Brain. Axial view. Slice index 86.
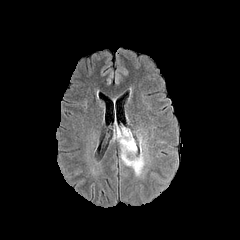
FLAIR MR.
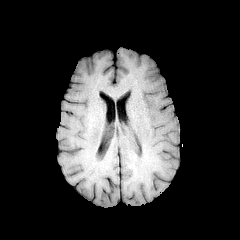
T1-weighted MRI.
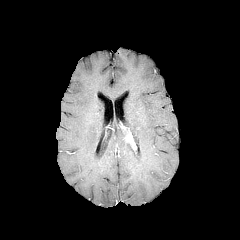
Post-contrast T1-weighted magnetic resonance.
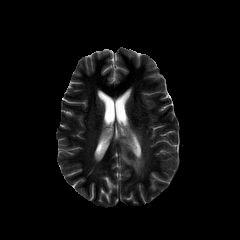
Same slice, T2-weighted MR image.
<segmentation>
  <peritumoral_edema>{"x1": 114, "y1": 123, "x2": 144, "y2": 175}</peritumoral_edema>
</segmentation>